FLAIR MR.
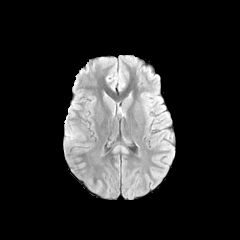
T1-weighted MR.
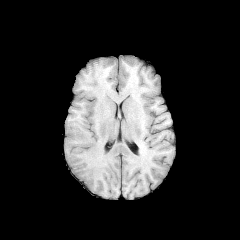
Post-contrast T1-weighted MRI.
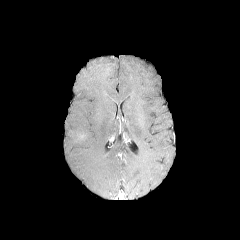
T2-weighted MR image.
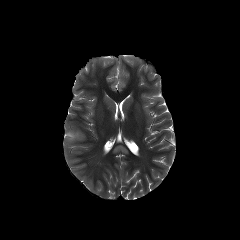
Axial view, Brain
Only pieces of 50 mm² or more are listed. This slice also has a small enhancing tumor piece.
The peritumoral edema lies within <box>66,130,82,141</box>.